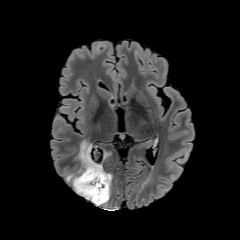
FLAIR MR image.
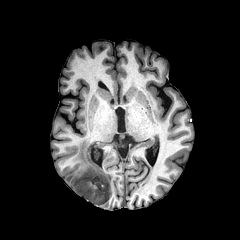
T1-weighted MR.
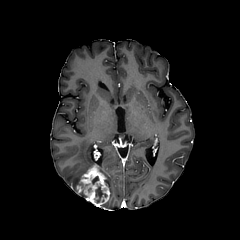
Post-contrast T1-weighted MR image.
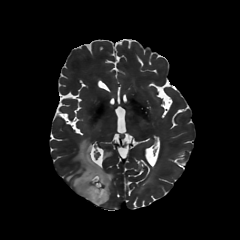
Same slice, T2-weighted MR image.
240x240 px, Brain
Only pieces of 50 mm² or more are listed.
{
  "peritumoral_edema": [
    "[65, 140, 112, 196]"
  ],
  "enhancing_tumor": [
    "[76, 164, 109, 206]"
  ],
  "necrotic_tumor_core": [
    "[95, 185, 102, 202]"
  ]
}